FLAIR MR.
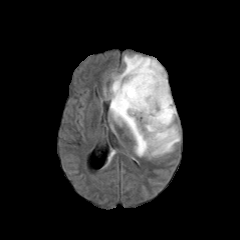
T1-weighted magnetic resonance.
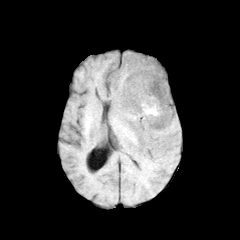
Post-contrast T1-weighted MR.
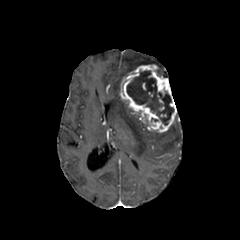
T2-weighted MR.
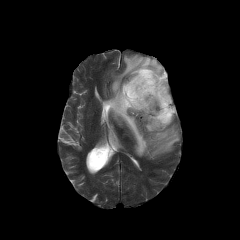
Brain.
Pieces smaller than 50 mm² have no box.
The peritumoral edema lies within [110,54,180,156]. The largest necrotic tumor core region lies within [127,70,173,124]. The largest enhancing tumor region lies within [119,64,176,132].